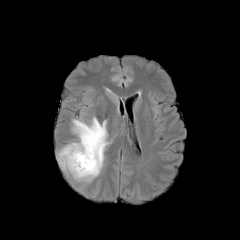
FLAIR MR.
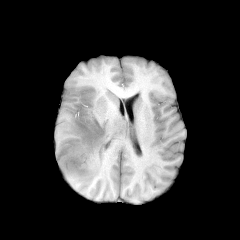
T1-weighted MR image.
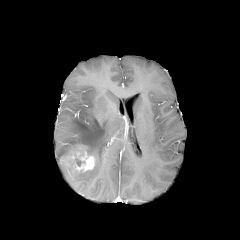
Post-contrast T1-weighted magnetic resonance.
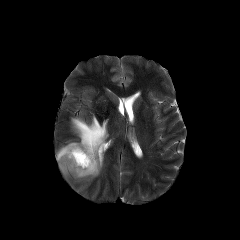
T2-weighted MR.
Head.
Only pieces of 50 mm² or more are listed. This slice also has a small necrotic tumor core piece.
<segmentation>
  <enhancing_tumor>(60,145,95,172)</enhancing_tumor>
  <peritumoral_edema>(56,116,108,182)</peritumoral_edema>
</segmentation>